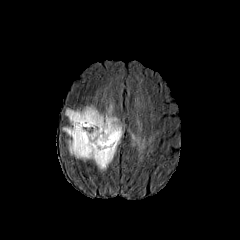
FLAIR MR image.
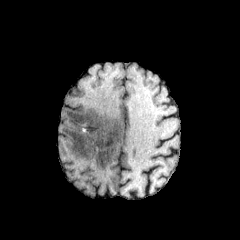
T1-weighted MR.
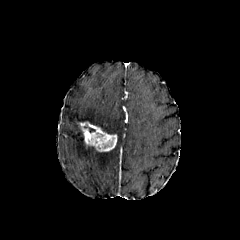
Post-contrast T1-weighted MRI.
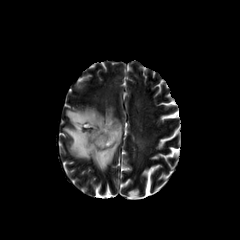
T2-weighted MRI.
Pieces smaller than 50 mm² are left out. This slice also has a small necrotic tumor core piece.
enhancing tumor: bounding box l=77, t=121, r=117, b=152
peritumoral edema: bounding box l=61, t=104, r=124, b=172; l=128, t=129, r=154, b=152